Slice 39 of 155, Axial slice, Brain, Image covers 240 mm x 240 mm
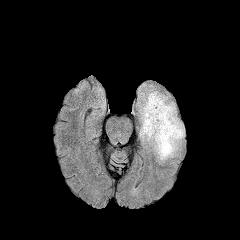
FLAIR MR.
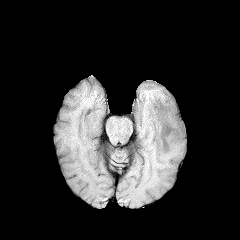
T1-weighted magnetic resonance.
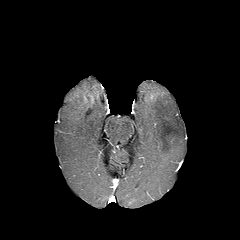
Same slice, post-contrast T1-weighted magnetic resonance.
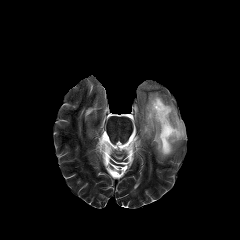
T2-weighted MRI.
Segmented structures:
• peritumoral edema: box=[140, 91, 184, 160]